FLAIR MR.
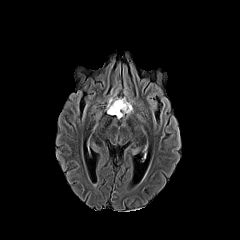
T1-weighted MRI.
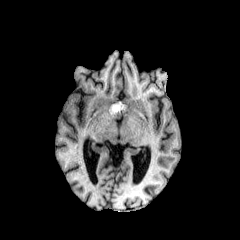
Post-contrast T1-weighted MR.
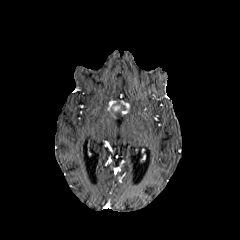
T2-weighted MR image.
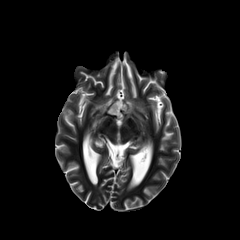
Head. Axial plane.
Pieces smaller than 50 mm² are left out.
• necrotic tumor core: (111,101,125,117)
• peritumoral edema: (107,92,133,115)
• enhancing tumor: (120,100,129,115)